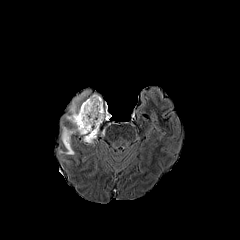
FLAIR MRI.
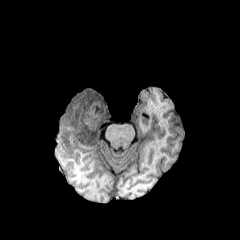
T1-weighted magnetic resonance.
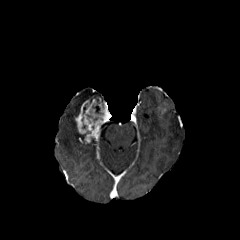
Same slice, post-contrast T1-weighted MR image.
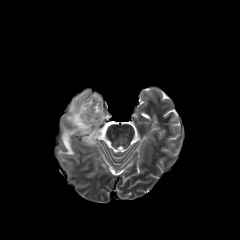
T2-weighted MR image.
Head
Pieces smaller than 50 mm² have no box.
{"enhancing_tumor": ["74,96,103,143"], "peritumoral_edema": ["58,90,89,155"], "necrotic_tumor_core": ["92,105,100,113"]}